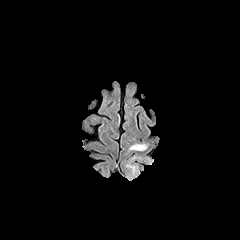
FLAIR MR.
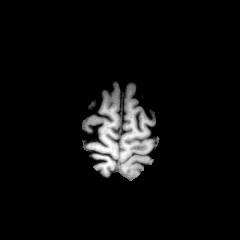
T1-weighted MRI of the same slice.
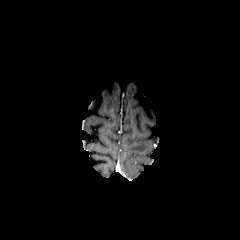
Post-contrast T1-weighted magnetic resonance.
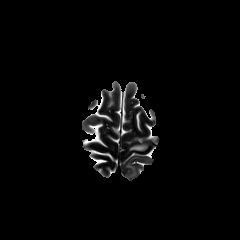
T2-weighted MRI of the same slice.
Brain.
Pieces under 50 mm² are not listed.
The largest peritumoral edema region lies within {"x1": 129, "y1": 144, "x2": 147, "y2": 150}.